FLAIR MR.
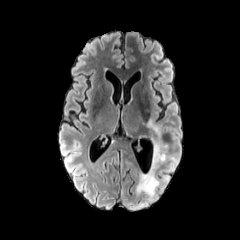
T1-weighted magnetic resonance.
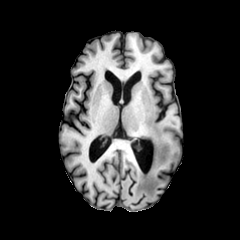
Post-contrast T1-weighted magnetic resonance.
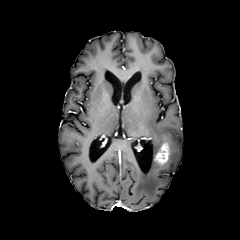
T2-weighted magnetic resonance.
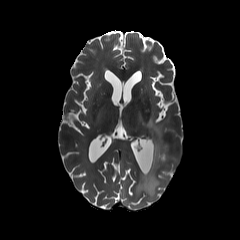
Brain.
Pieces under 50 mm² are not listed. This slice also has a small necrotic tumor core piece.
The enhancing tumor is located at 153:142:169:164. 2 peritumoral edema regions are located at 136:119:164:196, 169:155:178:163.